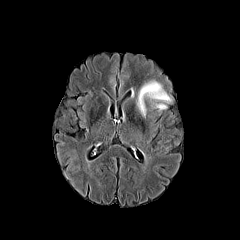
FLAIR MR image.
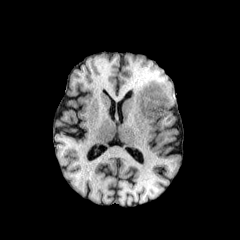
Same slice, T1-weighted MR image.
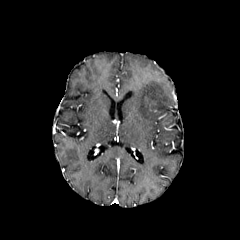
Post-contrast T1-weighted MR of the same slice.
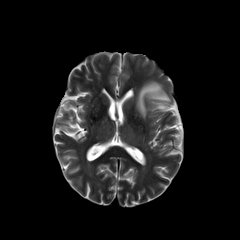
T2-weighted MRI of the same slice.
{
  "peritumoral_edema": [
    "x1=136 y1=80 x2=172 y2=117"
  ]
}